FLAIR magnetic resonance.
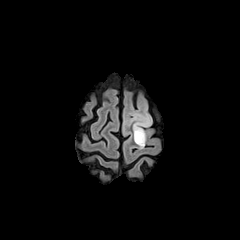
T1-weighted MRI.
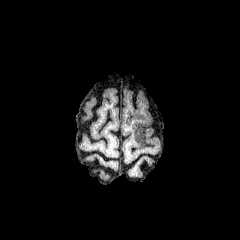
Post-contrast T1-weighted MR image.
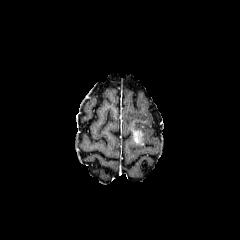
T2-weighted MR.
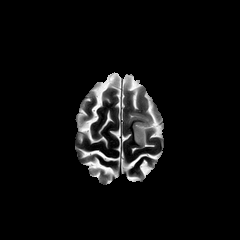
Axial plane
Annotated regions:
* peritumoral edema: 125 108 152 148
* enhancing tumor: 133 130 143 144